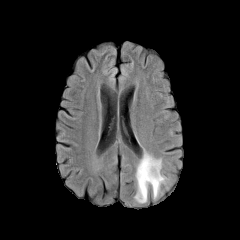
FLAIR MR.
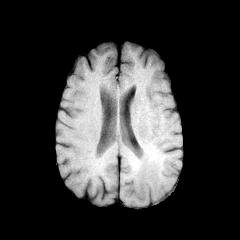
T1-weighted MR.
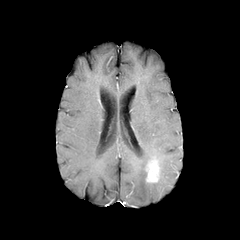
Post-contrast T1-weighted MR.
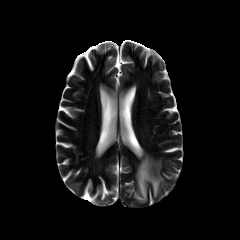
T2-weighted MR image of the same slice.
Axial plane, 240x240 px
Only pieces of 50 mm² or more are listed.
The enhancing tumor is bounded by x1=146 y1=160 x2=159 y2=182. The largest peritumoral edema region appears at x1=134 y1=150 x2=169 y2=203.